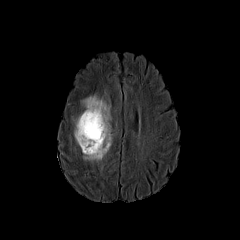
FLAIR magnetic resonance.
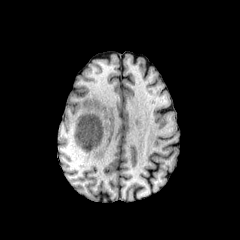
T1-weighted MR of the same slice.
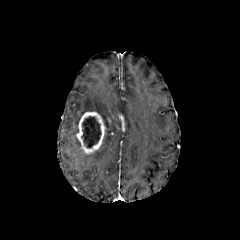
Post-contrast T1-weighted MRI.
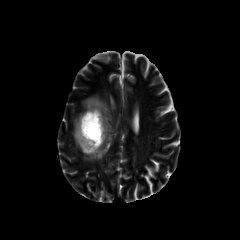
T2-weighted magnetic resonance.
Brain
<segmentation>
  <enhancing_tumor>x1=75, y1=111, x2=106, y2=154</enhancing_tumor>
  <peritumoral_edema>x1=73, y1=95, x2=112, y2=161</peritumoral_edema>
  <necrotic_tumor_core>x1=82, y1=116, x2=100, y2=147</necrotic_tumor_core>
</segmentation>